Brain
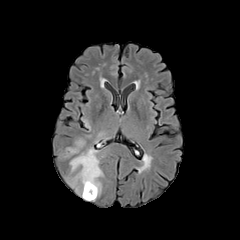
FLAIR MR image.
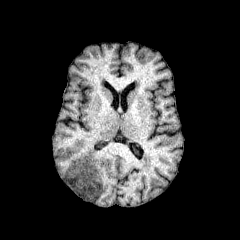
T1-weighted MR image of the same slice.
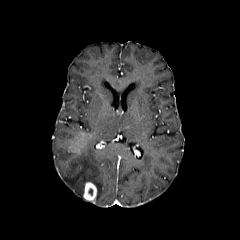
Same slice, post-contrast T1-weighted magnetic resonance.
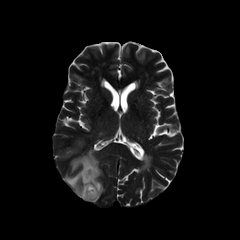
T2-weighted MR image of the same slice.
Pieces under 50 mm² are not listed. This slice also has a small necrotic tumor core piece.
enhancing_tumor:
  - rect(83, 182, 97, 201)
  - rect(68, 138, 85, 153)
peritumoral_edema:
  - rect(65, 147, 103, 197)